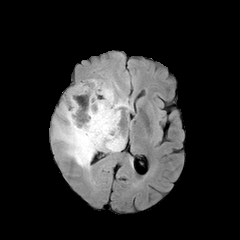
FLAIR MR.
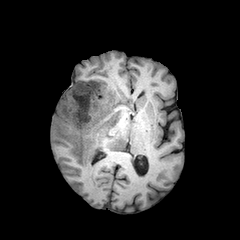
Same slice, T1-weighted MRI.
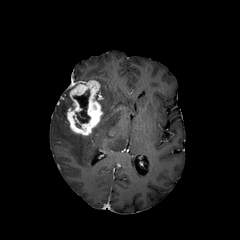
Same slice, post-contrast T1-weighted MR.
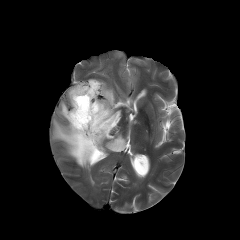
Same slice, T2-weighted MR.
Brain; 240x240
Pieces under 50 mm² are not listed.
peritumoral edema: bounding box [67,87,73,109], [58,102,68,119], [53,78,130,170]
necrotic tumor core: bounding box [74,90,90,123]
enhancing tumor: bounding box [66,80,103,135]